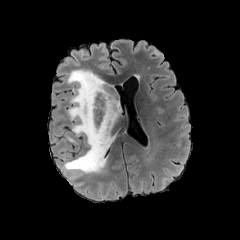
FLAIR MR image.
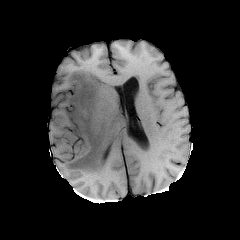
Same slice, T1-weighted MR.
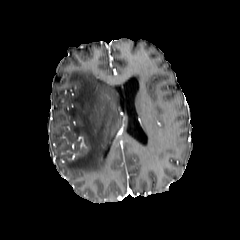
Post-contrast T1-weighted MR image.
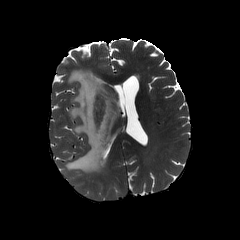
Same slice, T2-weighted MRI.
240x240 | Head
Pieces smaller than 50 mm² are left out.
peritumoral edema = {"x1": 66, "y1": 134, "x2": 78, "y2": 143}, {"x1": 64, "y1": 69, "x2": 122, "y2": 173}